Slice 89/155, 240x240 px, Axial slice
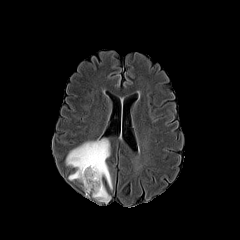
FLAIR MR.
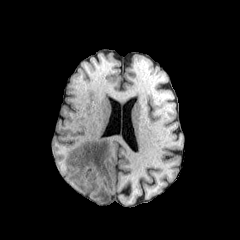
Same slice, T1-weighted MR image.
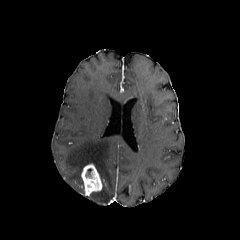
Same slice, post-contrast T1-weighted MR.
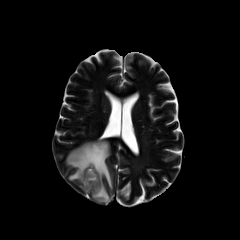
T2-weighted MR of the same slice.
enhancing tumor: (left=81, top=163, right=102, bottom=195)
necrotic tumor core: (left=86, top=169, right=95, bottom=178)
peritumoral edema: (left=92, top=185, right=110, bottom=202), (left=66, top=139, right=112, bottom=189)